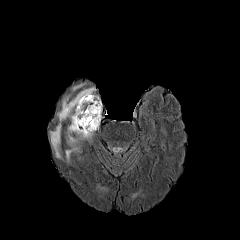
FLAIR MR image.
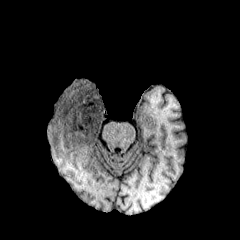
T1-weighted MRI.
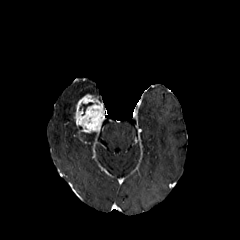
Post-contrast T1-weighted magnetic resonance.
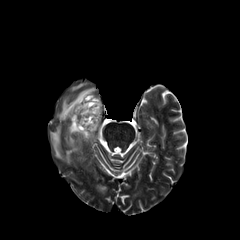
Same slice, T2-weighted MR.
Brain | 240x240 px
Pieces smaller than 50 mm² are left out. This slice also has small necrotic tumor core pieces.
peritumoral edema: bounding box x1=50, y1=87, x2=96, y2=162; x1=71, y1=83, x2=85, y2=91; x1=80, y1=132, x2=94, y2=139
enhancing tumor: bounding box x1=73, y1=94, x2=104, y2=140